FLAIR MRI.
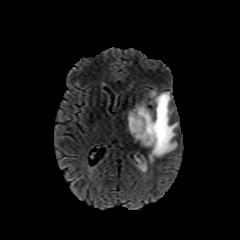
T1-weighted MR.
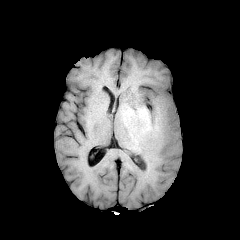
Post-contrast T1-weighted MR image.
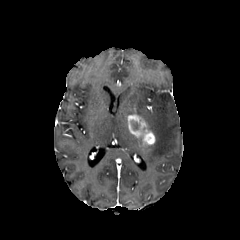
T2-weighted MRI.
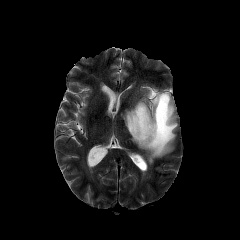
Axial plane; 240x240
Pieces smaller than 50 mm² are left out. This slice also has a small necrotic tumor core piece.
{"peritumoral_edema": ["bbox=[128, 90, 178, 163]"], "enhancing_tumor": ["bbox=[127, 114, 155, 147]"]}